Slice 121 of 155. Axial slice. 240x240. Brain.
FLAIR MRI.
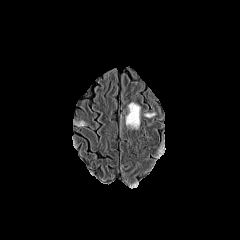
T1-weighted MR.
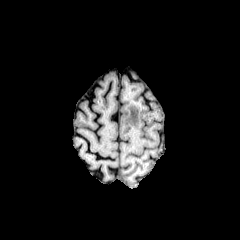
Post-contrast T1-weighted magnetic resonance.
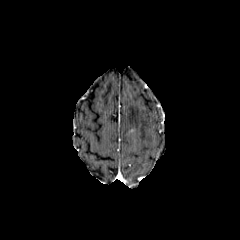
T2-weighted magnetic resonance.
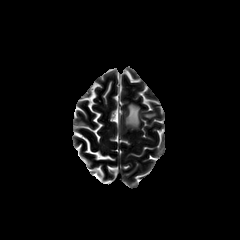
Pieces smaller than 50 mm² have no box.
peritumoral edema: 73,120,84,126; 125,103,140,128